Brain. Image width 240 mm. Axial slice.
FLAIR magnetic resonance.
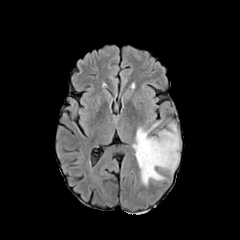
T1-weighted MR image.
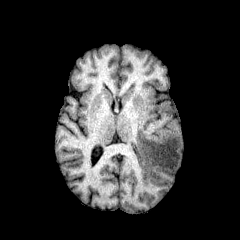
Post-contrast T1-weighted MRI.
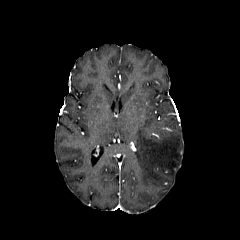
T2-weighted MR.
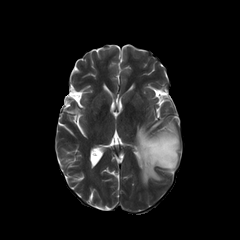
Findings:
* peritumoral edema: 135 122 179 185